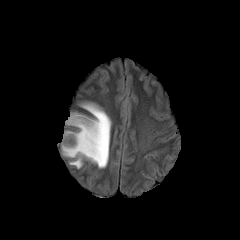
FLAIR MR.
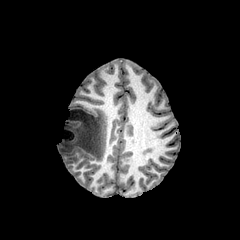
T1-weighted MR.
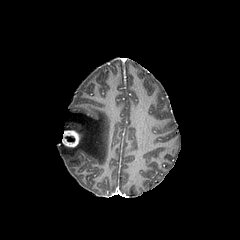
Post-contrast T1-weighted MR image.
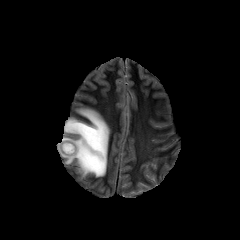
T2-weighted magnetic resonance.
240x240 px; Head
necrotic tumor core: box(65, 136, 74, 142) | enhancing tumor: box(62, 130, 79, 147) | peritumoral edema: box(61, 104, 110, 170)